FLAIR MRI.
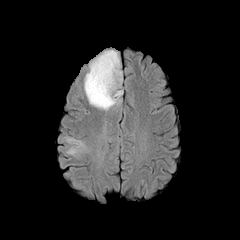
T1-weighted MRI.
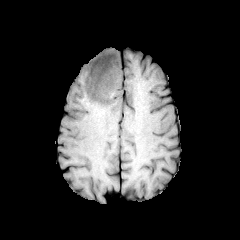
Post-contrast T1-weighted MRI.
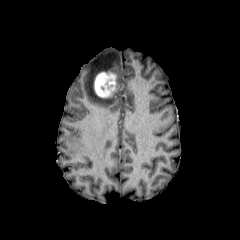
T2-weighted MR image.
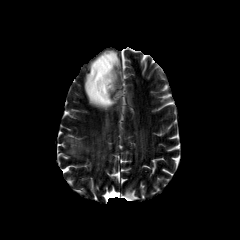
Head.
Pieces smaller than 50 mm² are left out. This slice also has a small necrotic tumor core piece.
The peritumoral edema appears at rect(84, 50, 122, 110). The enhancing tumor appears at rect(94, 71, 116, 97).